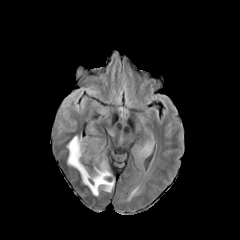
FLAIR MR image.
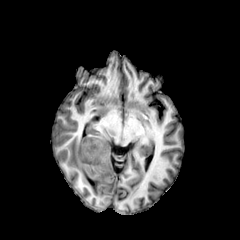
T1-weighted MRI.
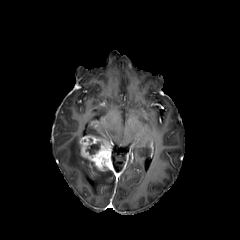
Post-contrast T1-weighted MR image.
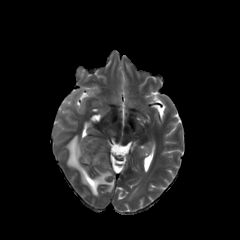
Same slice, T2-weighted MRI.
Axial plane. Brain. Image size 240x240.
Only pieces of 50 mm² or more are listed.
peritumoral edema at [x1=67, y1=136, x2=114, y2=195]
enhancing tumor at [x1=79, y1=136, x2=111, y2=171]
necrotic tumor core at [x1=86, y1=143, x2=99, y2=154]